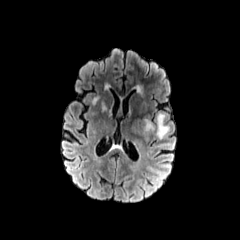
FLAIR MR.
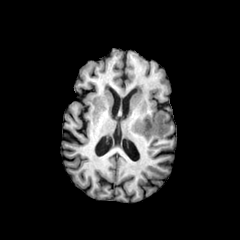
T1-weighted MR.
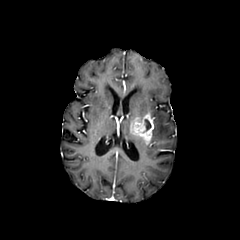
Post-contrast T1-weighted magnetic resonance.
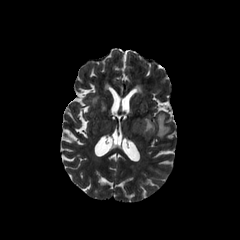
T2-weighted magnetic resonance of the same slice.
enhancing tumor: (x1=130, y1=114, x2=154, y2=142) | peritumoral edema: (x1=153, y1=112, x2=169, y2=138) | necrotic tumor core: (x1=145, y1=119, x2=151, y2=130)